FLAIR MR image.
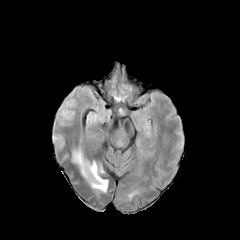
T1-weighted MR image.
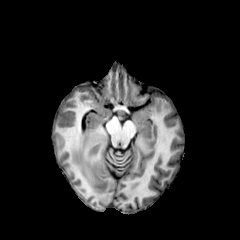
Post-contrast T1-weighted MR.
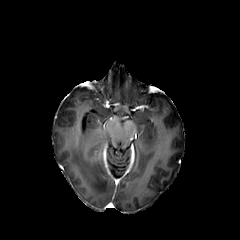
T2-weighted magnetic resonance.
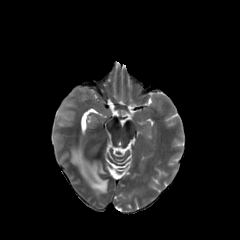
Brain
peritumoral edema — region(72, 148, 107, 192)